FLAIR MRI.
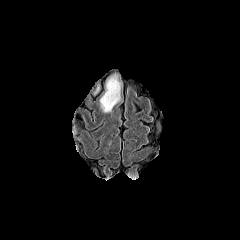
T1-weighted MR image.
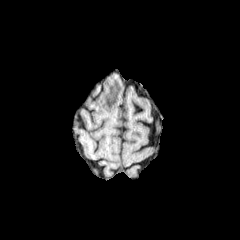
Post-contrast T1-weighted MR image.
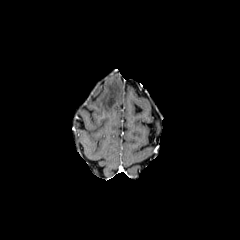
T2-weighted magnetic resonance.
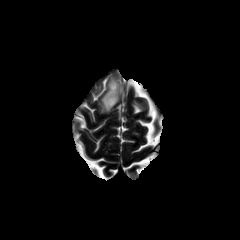
Axial plane
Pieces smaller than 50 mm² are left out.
Annotated regions:
• peritumoral edema: 100 76 122 112